Head.
FLAIR MR image.
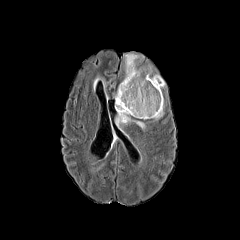
T1-weighted MR.
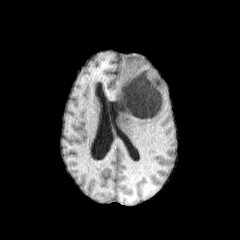
Post-contrast T1-weighted MR image.
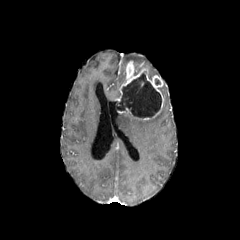
T2-weighted MRI.
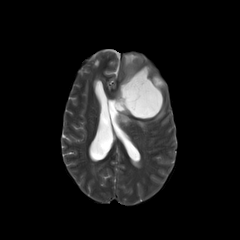
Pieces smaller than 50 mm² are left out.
enhancing tumor — box(116, 60, 163, 119)
peritumoral edema — box(115, 113, 145, 128); box(124, 54, 138, 70); box(154, 105, 164, 120)
necrotic tumor core — box(116, 72, 161, 117)